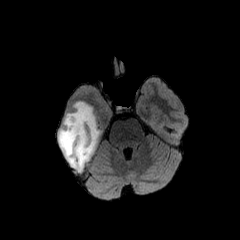
FLAIR magnetic resonance.
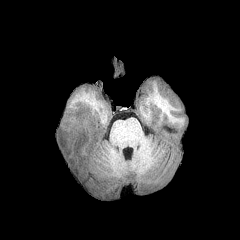
Same slice, T1-weighted MR image.
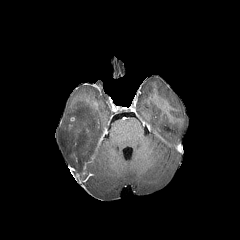
Post-contrast T1-weighted MR image.
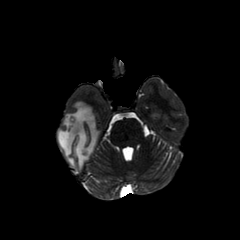
Same slice, T2-weighted MR.
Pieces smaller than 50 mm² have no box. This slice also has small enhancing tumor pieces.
<segmentation>
  <peritumoral_edema>box=[58, 102, 99, 171]</peritumoral_edema>
</segmentation>